Axial view. Brain. Slice index 55. Image size 240x240.
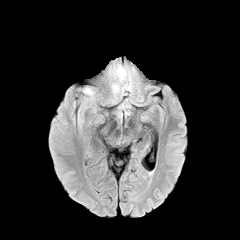
FLAIR MRI.
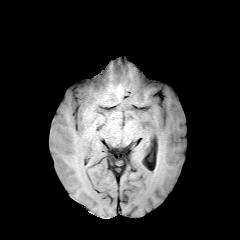
T1-weighted MR.
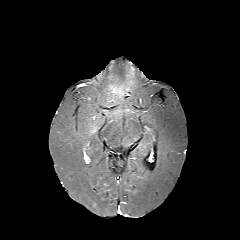
Post-contrast T1-weighted MRI of the same slice.
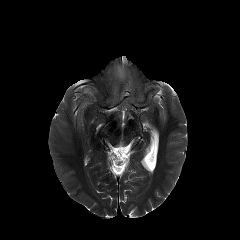
Same slice, T2-weighted magnetic resonance.
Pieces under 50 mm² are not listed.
The 2 largest peritumoral edema regions appear at 114 65 126 81, 84 88 93 95.